240x240 px. Brain.
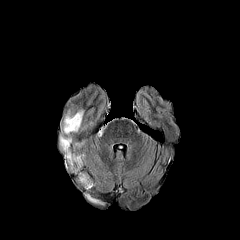
FLAIR MR.
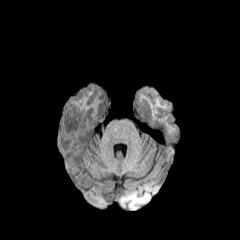
Same slice, T1-weighted MRI.
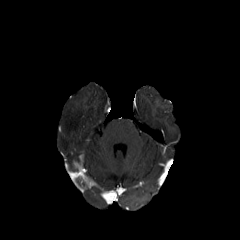
Same slice, post-contrast T1-weighted MR image.
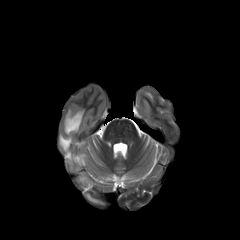
T2-weighted MR image.
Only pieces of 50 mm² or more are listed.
<segmentation>
  <enhancing_tumor>rect(75, 162, 92, 187)</enhancing_tumor>
  <peritumoral_edema>rect(63, 109, 83, 135); rect(59, 135, 79, 167); rect(86, 194, 99, 202)</peritumoral_edema>
</segmentation>